FLAIR magnetic resonance.
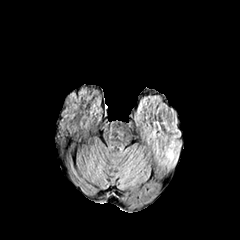
T1-weighted magnetic resonance.
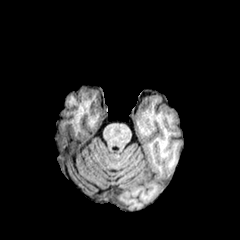
Post-contrast T1-weighted MRI.
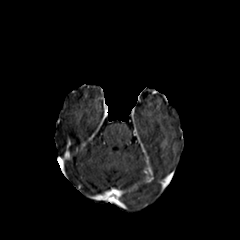
T2-weighted magnetic resonance.
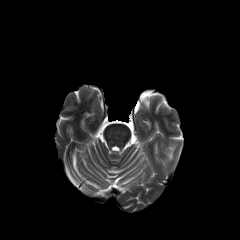
Axial view, 240x240, Brain
peritumoral_edema:
  - [166, 143, 177, 161]